Brain | Slice 73/155 | Image size 240x240
FLAIR MR.
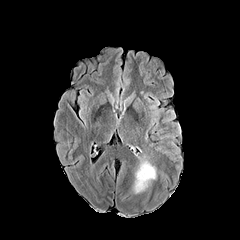
T1-weighted magnetic resonance.
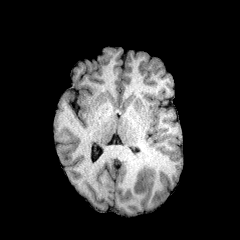
Post-contrast T1-weighted MR image.
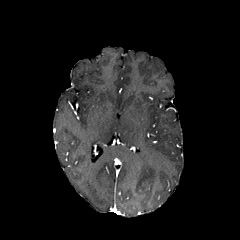
T2-weighted MR image.
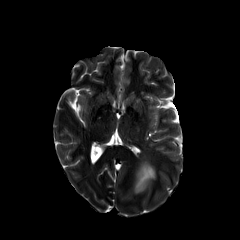
{
  "peritumoral_edema": [
    "l=133, t=161, r=156, b=193"
  ]
}